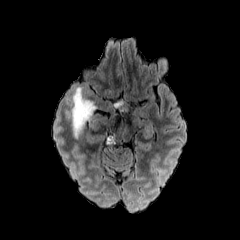
FLAIR magnetic resonance.
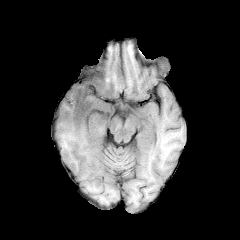
T1-weighted MRI.
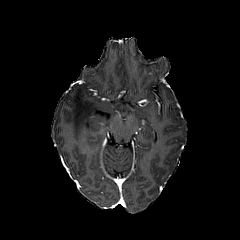
Post-contrast T1-weighted MR image of the same slice.
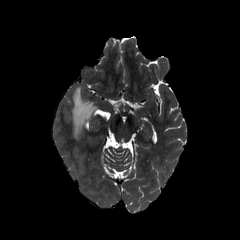
T2-weighted MRI of the same slice.
Axial view; Brain
Findings:
* peritumoral edema: x1=71 y1=87 x2=96 y2=138, x1=114 y1=100 x2=123 y2=113